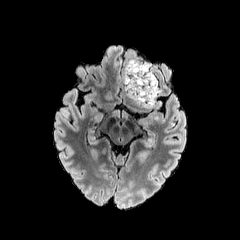
FLAIR MRI.
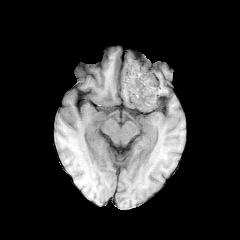
T1-weighted MR image.
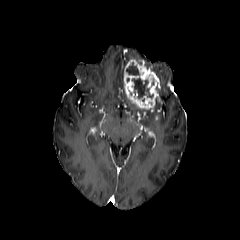
Post-contrast T1-weighted MR of the same slice.
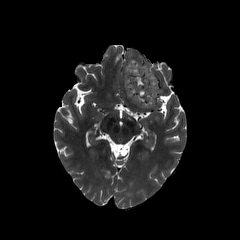
T2-weighted MR.
240x240 px; Head
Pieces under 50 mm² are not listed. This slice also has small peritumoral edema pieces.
The 2 largest necrotic tumor core regions are bounded by <box>126,63,139,75</box>, <box>132,78,153,98</box>. The largest enhancing tumor region is bounded by <box>123,59,159,109</box>.